FLAIR magnetic resonance.
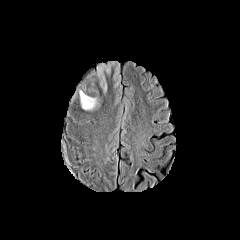
T1-weighted MRI.
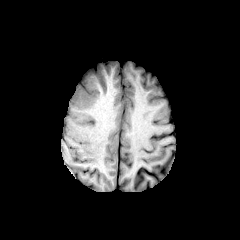
Post-contrast T1-weighted MR image.
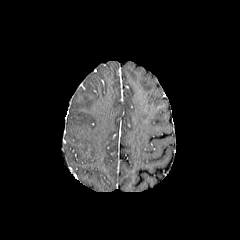
T2-weighted MR.
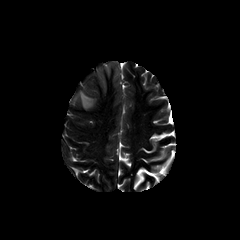
Brain
• peritumoral edema: x1=71 y1=61 x2=122 y2=109